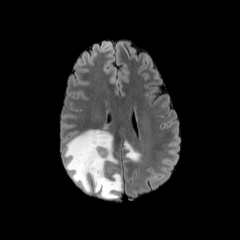
FLAIR MR.
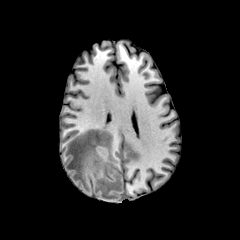
Same slice, T1-weighted MR image.
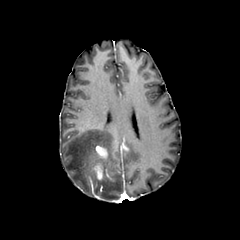
Post-contrast T1-weighted MR image of the same slice.
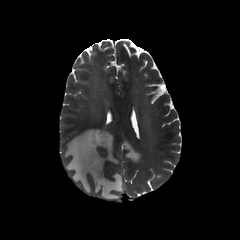
T2-weighted MR.
Brain; Axial slice
peritumoral edema — [x1=64, y1=129, x2=122, y2=199], [x1=124, y1=141, x2=140, y2=161]
enhancing tumor — [x1=95, y1=145, x2=107, y2=159], [x1=93, y1=162, x2=102, y2=180]